Axial slice
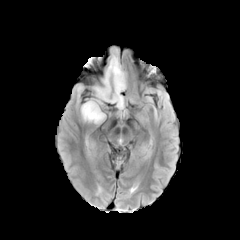
FLAIR magnetic resonance.
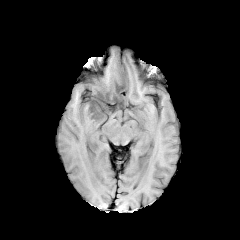
Same slice, T1-weighted magnetic resonance.
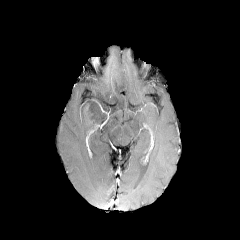
Post-contrast T1-weighted MRI.
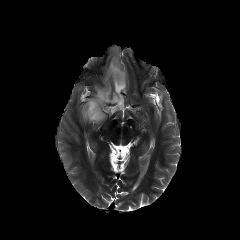
T2-weighted MR of the same slice.
The peritumoral edema is located at 81,47,126,123.